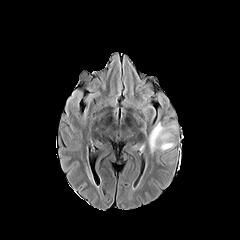
FLAIR MRI.
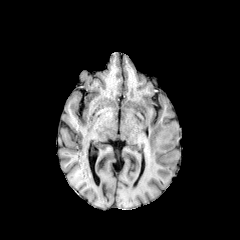
Same slice, T1-weighted MR image.
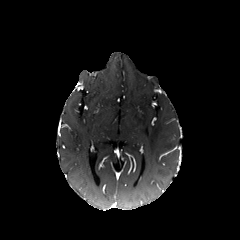
Post-contrast T1-weighted MRI.
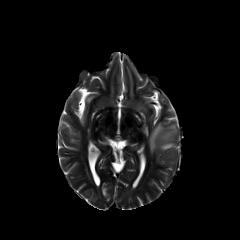
Same slice, T2-weighted magnetic resonance.
The peritumoral edema is at 149,122,176,153.